240x240 px; Slice 108 of 155
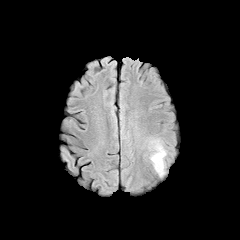
FLAIR MR image.
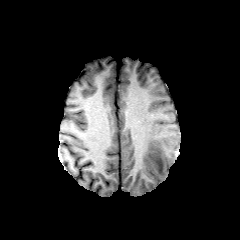
T1-weighted magnetic resonance.
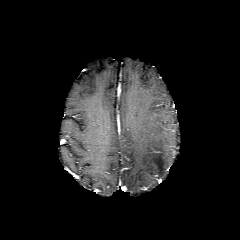
Post-contrast T1-weighted MR image.
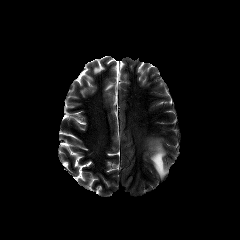
T2-weighted MRI.
peritumoral edema: l=150, t=140, r=165, b=176